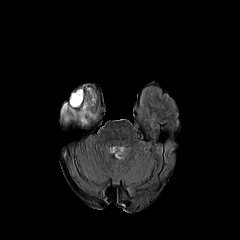
FLAIR MR.
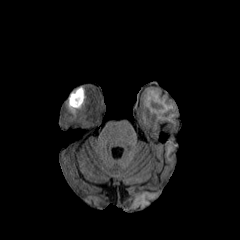
T1-weighted magnetic resonance.
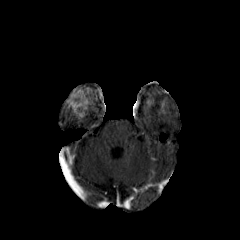
Post-contrast T1-weighted MRI.
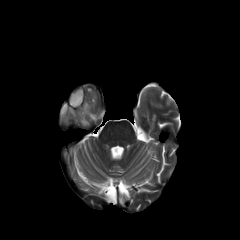
T2-weighted magnetic resonance.
240x240 px. Head.
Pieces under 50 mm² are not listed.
peritumoral edema = bbox(61, 110, 76, 120)
enhancing tumor = bbox(65, 87, 97, 121)
necrotic tumor core = bbox(70, 87, 83, 105)